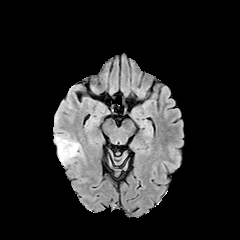
FLAIR magnetic resonance.
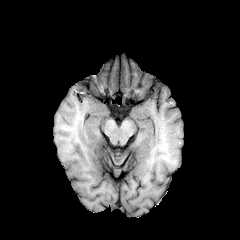
T1-weighted MRI.
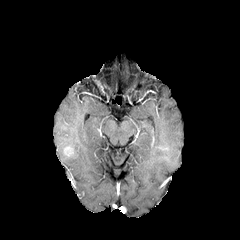
Same slice, post-contrast T1-weighted MR.
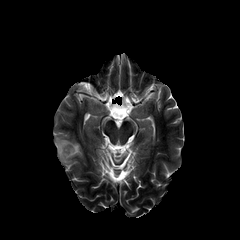
T2-weighted MRI of the same slice.
Head, 240x240 px
enhancing tumor — (left=64, top=146, right=73, bottom=156)
peritumoral edema — (left=55, top=134, right=81, bottom=162)